Image covers 240 mm x 240 mm. 240x240 px. Axial plane. Slice index 91.
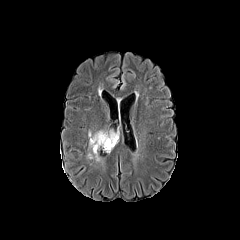
FLAIR MR.
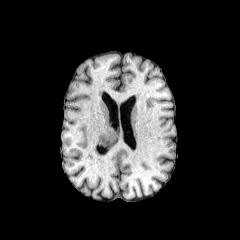
Same slice, T1-weighted MR.
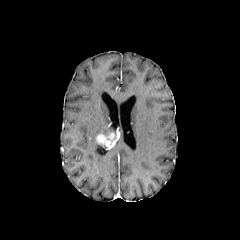
Post-contrast T1-weighted MRI.
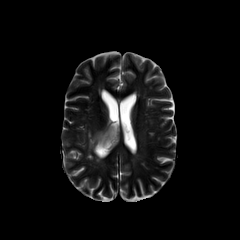
T2-weighted MRI.
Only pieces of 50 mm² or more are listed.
peritumoral edema: (88,130,114,161) | enhancing tumor: (96,132,118,149)